Image width 240 mm
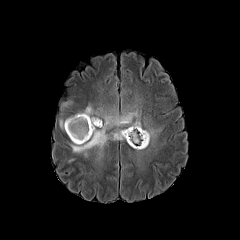
FLAIR magnetic resonance.
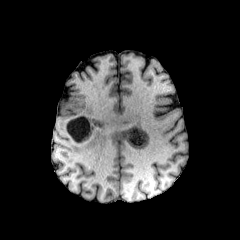
T1-weighted MR.
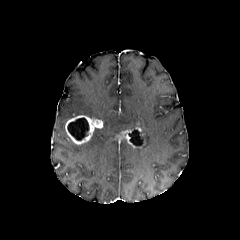
Same slice, post-contrast T1-weighted MRI.
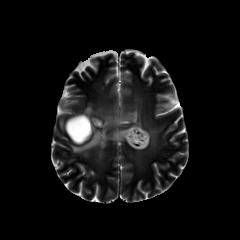
Same slice, T2-weighted MRI.
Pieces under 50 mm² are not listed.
- enhancing tumor: 65 115 103 144, 115 124 146 148
- peritumoral edema: 135 127 160 149, 59 119 67 130, 70 105 141 156
- necrotic tumor core: 128 129 143 146, 68 118 89 140